FLAIR MR image.
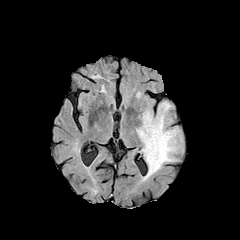
T1-weighted MRI.
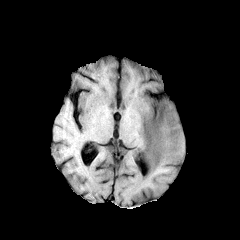
Post-contrast T1-weighted MRI.
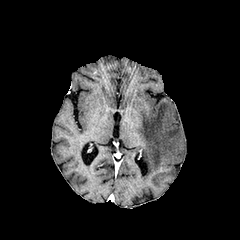
T2-weighted magnetic resonance.
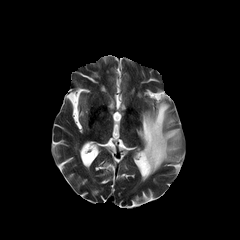
240x240 | Brain
peritumoral edema at 136:101:182:180